Slice 57/155, 240x240
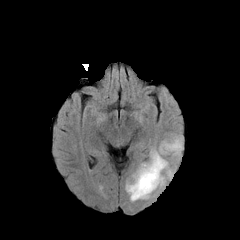
FLAIR MR image.
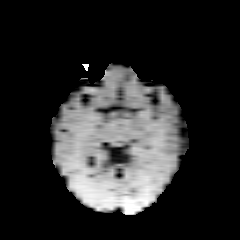
Same slice, T1-weighted magnetic resonance.
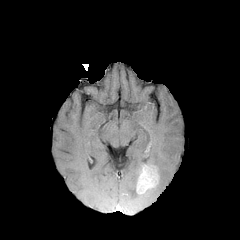
Post-contrast T1-weighted magnetic resonance of the same slice.
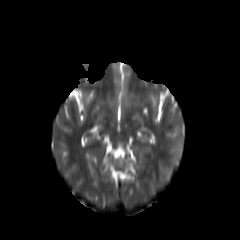
T2-weighted MR image of the same slice.
- enhancing tumor: (136,165,158,193)
- peritumoral edema: (125,150,171,201), (159,134,182,156)